Image width 240 mm. Slice 130 of 155. Brain.
FLAIR MRI.
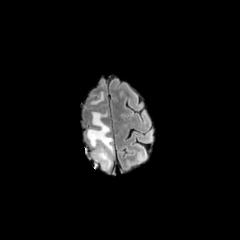
T1-weighted MR.
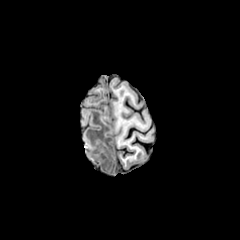
Post-contrast T1-weighted MRI.
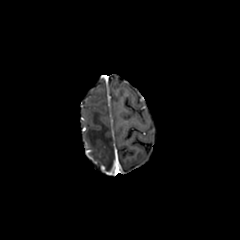
T2-weighted magnetic resonance.
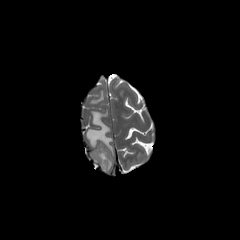
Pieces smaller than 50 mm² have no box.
Segmented structures:
• enhancing tumor: x1=86 y1=150 x2=97 y2=164
• peritumoral edema: x1=90 y1=92 x2=104 y2=104, x1=86 y1=111 x2=113 y2=171